FLAIR MR.
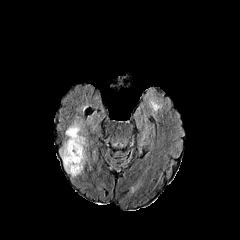
T1-weighted MRI.
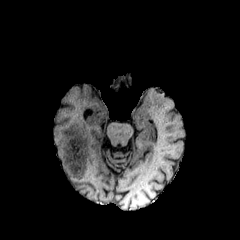
Post-contrast T1-weighted MR.
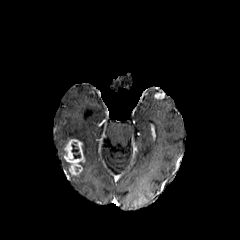
T2-weighted MRI.
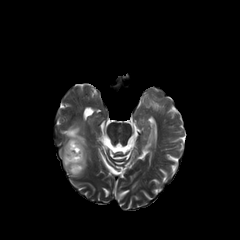
Head
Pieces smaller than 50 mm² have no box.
Annotated regions:
- enhancing tumor: <bbox>64, 139, 83, 175</bbox>
- peritumoral edema: <bbox>60, 121, 87, 177</bbox>
- necrotic tumor core: <bbox>69, 141, 81, 160</bbox>